FLAIR MR image.
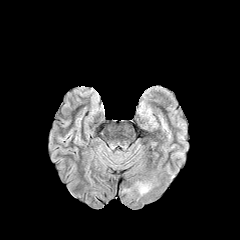
T1-weighted MR.
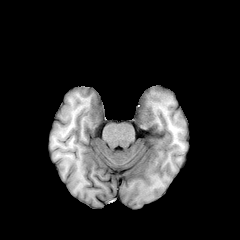
Post-contrast T1-weighted MR.
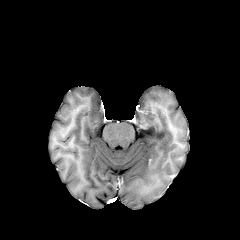
T2-weighted MRI.
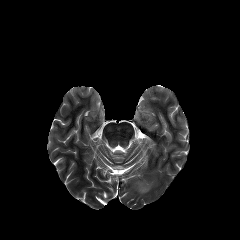
Brain
The peritumoral edema is located at (left=139, top=184, right=149, bottom=193).